Axial plane | Brain
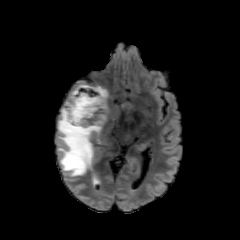
FLAIR magnetic resonance.
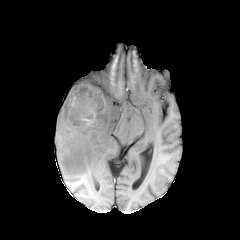
T1-weighted magnetic resonance.
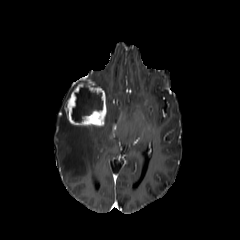
Post-contrast T1-weighted magnetic resonance.
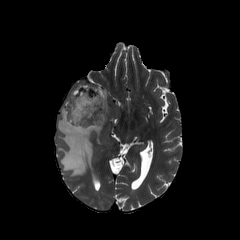
T2-weighted MRI.
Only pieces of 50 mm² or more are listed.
The largest peritumoral edema region is bounded by <box>58,87,119,176</box>. The necrotic tumor core is bounded by <box>71,85,102,121</box>. The enhancing tumor is at <box>64,82,106,126</box>.